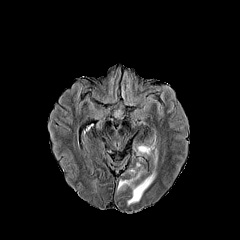
FLAIR MRI.
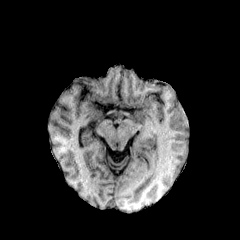
T1-weighted magnetic resonance.
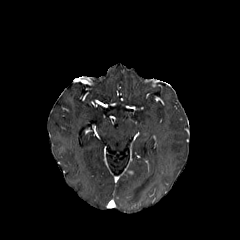
Post-contrast T1-weighted MR image.
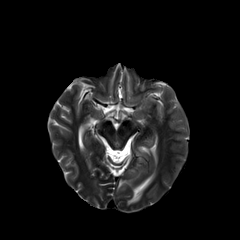
T2-weighted MRI of the same slice.
240x240
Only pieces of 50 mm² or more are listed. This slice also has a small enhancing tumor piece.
The 2 largest peritumoral edema regions are located at region(137, 145, 150, 154); region(117, 172, 155, 204).